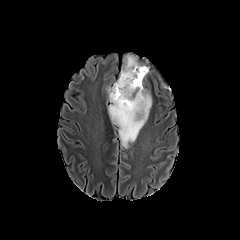
FLAIR magnetic resonance.
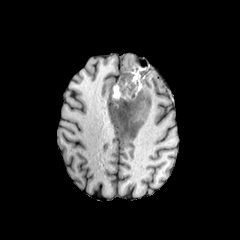
T1-weighted MR.
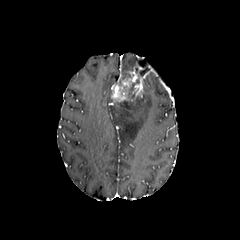
Post-contrast T1-weighted MRI.
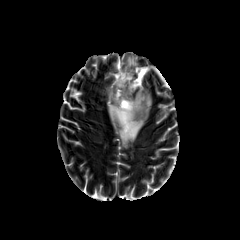
T2-weighted MR.
Axial slice | Brain
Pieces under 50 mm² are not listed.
{"enhancing_tumor": ["[x1=111, y1=67, x2=148, y2=102]"], "peritumoral_edema": ["[x1=121, y1=53, x2=150, y2=75]", "[x1=106, y1=87, x2=152, y2=148]"], "necrotic_tumor_core": ["[x1=127, y1=79, x2=139, y2=98]", "[x1=135, y1=68, x2=146, y2=76]", "[x1=115, y1=100, x2=131, y2=115]"]}